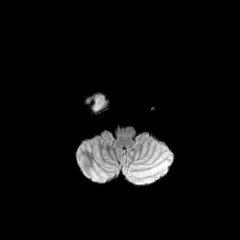
FLAIR MR image.
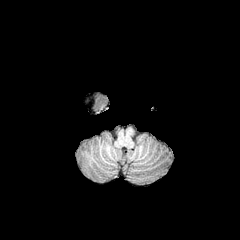
T1-weighted magnetic resonance of the same slice.
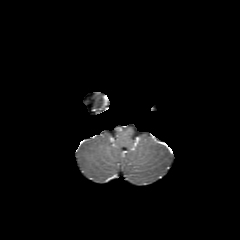
Post-contrast T1-weighted MR image.
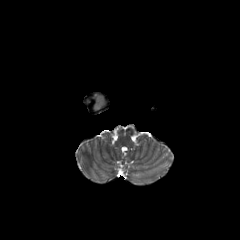
T2-weighted magnetic resonance of the same slice.
Axial view.
peritumoral edema at [94, 98, 105, 110]